Head; 240x240 px; Image width 240 mm, 1.00 mm slice spacing; Axial slice
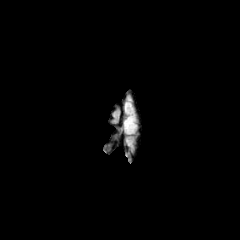
FLAIR magnetic resonance.
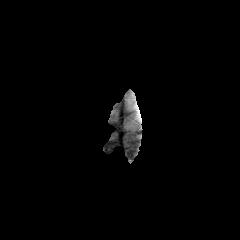
T1-weighted MR.
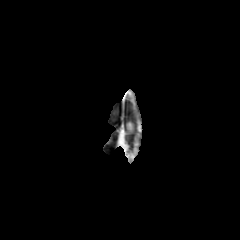
Same slice, post-contrast T1-weighted MR image.
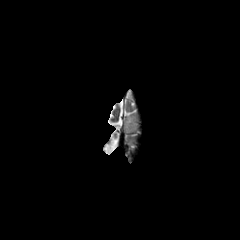
T2-weighted MRI of the same slice.
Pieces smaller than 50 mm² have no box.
The enhancing tumor lies within x1=126 y1=121 x2=134 y2=133. The largest peritumoral edema region appears at x1=124 y1=103 x2=135 y2=132.